FLAIR MR image.
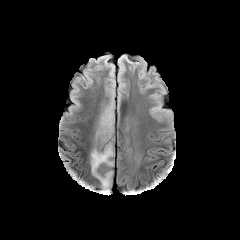
T1-weighted MR image.
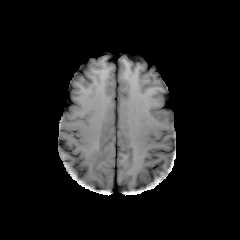
Post-contrast T1-weighted magnetic resonance.
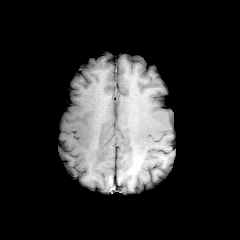
T2-weighted MRI.
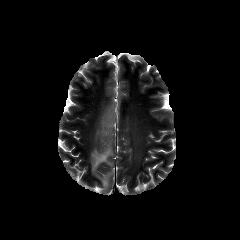
Head
2 peritumoral edema regions are bounded by x1=96, y1=114, x2=113, y2=142; x1=91, y1=142, x2=113, y2=191.